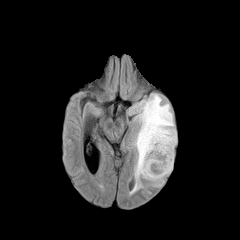
FLAIR MR.
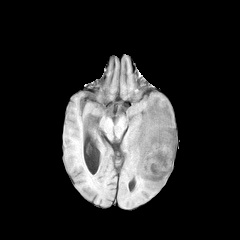
T1-weighted MR image.
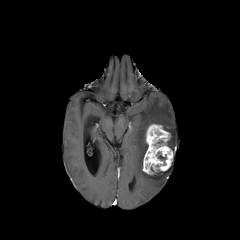
Post-contrast T1-weighted MR image of the same slice.
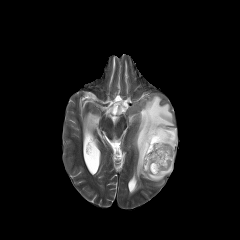
T2-weighted magnetic resonance.
Brain; Axial plane
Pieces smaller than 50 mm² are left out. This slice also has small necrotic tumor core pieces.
peritumoral edema: bounding box 132 94 176 191
enhancing tumor: bounding box 142 124 174 175